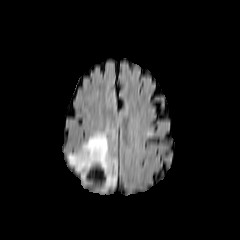
FLAIR MR image.
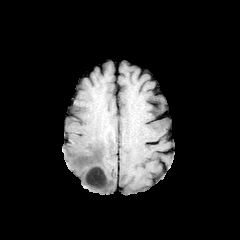
Same slice, T1-weighted MRI.
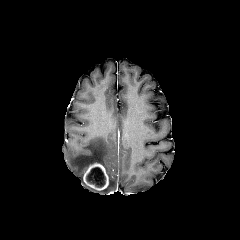
Post-contrast T1-weighted magnetic resonance of the same slice.
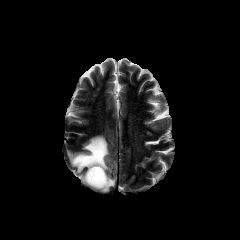
Same slice, T2-weighted magnetic resonance.
Axial slice. Brain.
The enhancing tumor lies within (left=83, top=162, right=109, bottom=190). The necrotic tumor core lies within (left=86, top=167, right=105, bottom=187). The peritumoral edema lies within (left=68, top=133, right=116, bottom=192).